Brain.
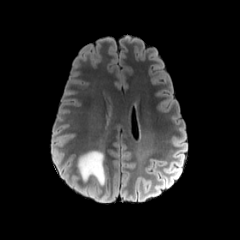
FLAIR MR image.
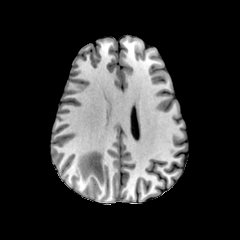
T1-weighted MR.
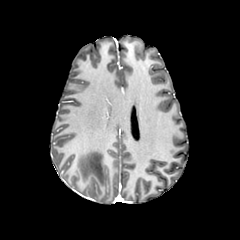
Post-contrast T1-weighted MR image of the same slice.
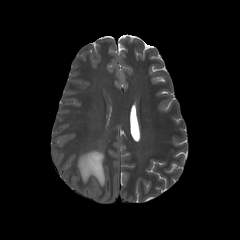
T2-weighted MR image of the same slice.
Segmented structures:
- peritumoral edema: <bbox>78, 151, 105, 184</bbox>